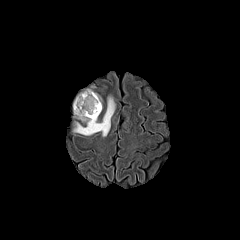
FLAIR MRI.
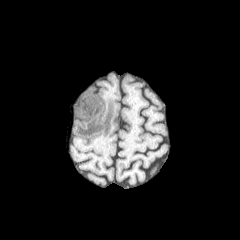
T1-weighted MR image.
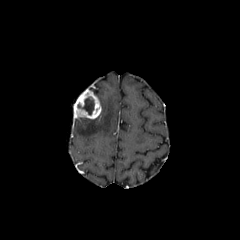
Post-contrast T1-weighted MR image.
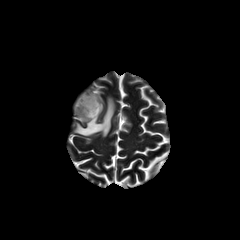
Same slice, T2-weighted MR image.
Axial slice
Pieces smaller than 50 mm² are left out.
The enhancing tumor is at box(73, 89, 101, 119). The largest peritumoral edema region appears at box(74, 96, 115, 136). The largest necrotic tumor core region lies within box(82, 97, 94, 114).